Slice 91/155
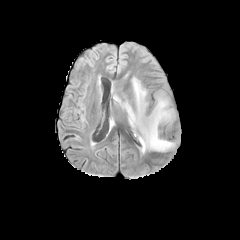
FLAIR MR.
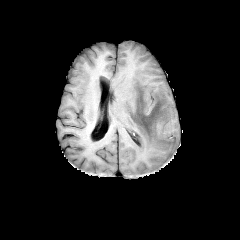
Same slice, T1-weighted MR.
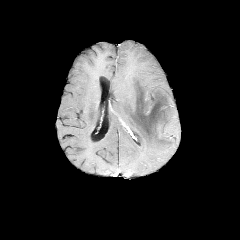
Same slice, post-contrast T1-weighted MR image.
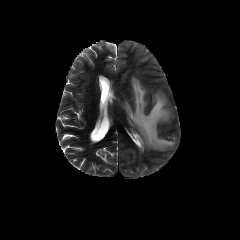
T2-weighted magnetic resonance.
The peritumoral edema is at box(113, 77, 174, 153).